FLAIR MR.
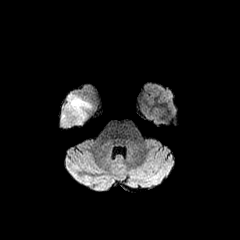
T1-weighted MR.
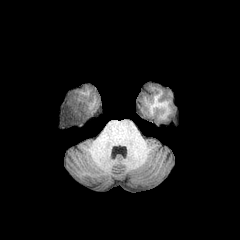
Post-contrast T1-weighted MR image.
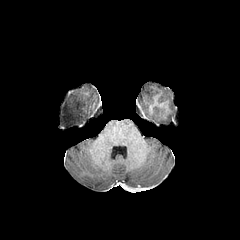
T2-weighted MR image.
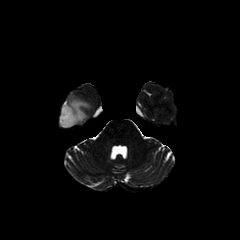
Brain
{"peritumoral_edema": ["region(59, 95, 90, 128)"]}